FLAIR MR.
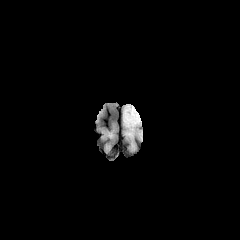
T1-weighted magnetic resonance.
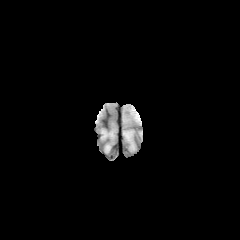
Post-contrast T1-weighted MRI.
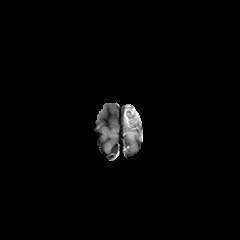
T2-weighted MRI.
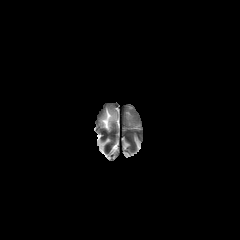
Axial plane.
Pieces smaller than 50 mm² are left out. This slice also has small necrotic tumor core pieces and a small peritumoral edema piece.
The enhancing tumor is at [124, 106, 140, 128].